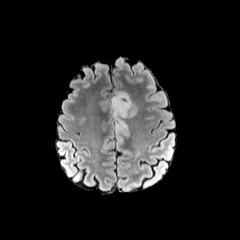
FLAIR MRI.
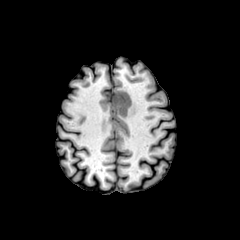
T1-weighted MRI.
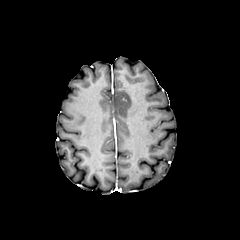
Post-contrast T1-weighted MR.
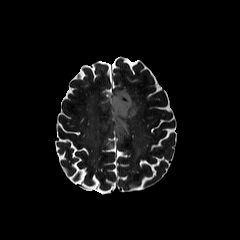
T2-weighted magnetic resonance.
peritumoral edema: (x1=111, y1=91, x2=136, y2=126)